FLAIR magnetic resonance.
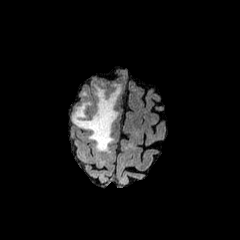
T1-weighted MR.
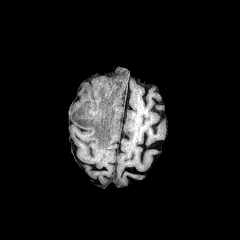
Post-contrast T1-weighted MR.
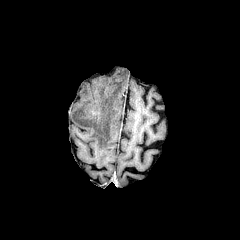
T2-weighted MRI.
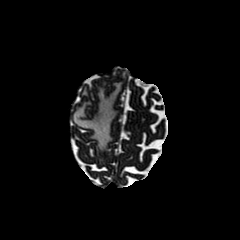
Head
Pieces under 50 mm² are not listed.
peritumoral edema = (left=72, top=83, right=121, bottom=151)